Brain. Slice index 77.
FLAIR MR image.
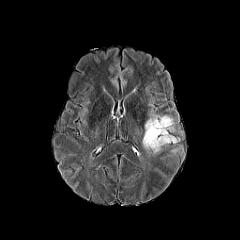
T1-weighted MR image.
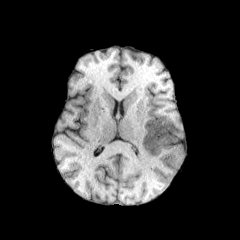
Post-contrast T1-weighted MR image.
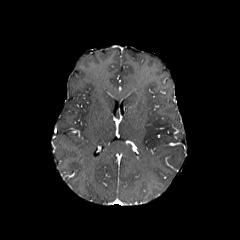
T2-weighted MRI.
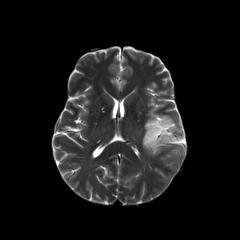
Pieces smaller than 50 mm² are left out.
<segmentation>
  <peritumoral_edema>142, 115, 176, 152</peritumoral_edema>
</segmentation>